240x240 | Head
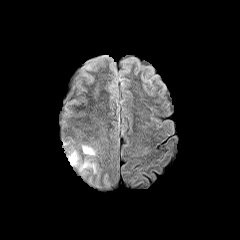
FLAIR MR.
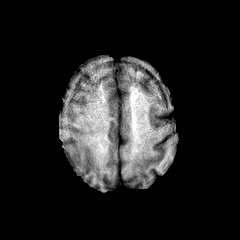
Same slice, T1-weighted MRI.
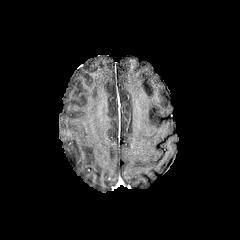
Post-contrast T1-weighted magnetic resonance.
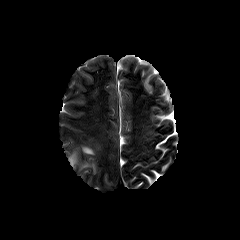
Same slice, T2-weighted MR.
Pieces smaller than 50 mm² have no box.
peritumoral_edema:
  - {"x1": 69, "y1": 151, "x2": 78, "y2": 165}
  - {"x1": 82, "y1": 146, "x2": 94, "y2": 155}